Image width 240 mm, 1.00 mm slice spacing | Head | Slice 102 of 155 | Axial plane
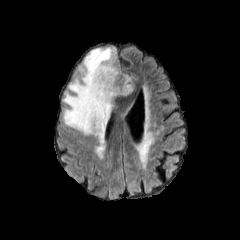
FLAIR MR image.
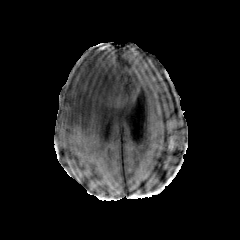
Same slice, T1-weighted MRI.
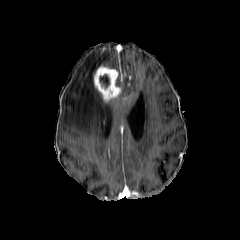
Same slice, post-contrast T1-weighted magnetic resonance.
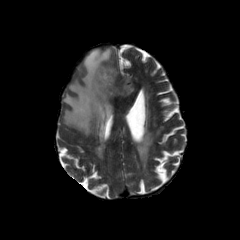
T2-weighted MR image.
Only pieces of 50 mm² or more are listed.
• peritumoral edema: (62, 47, 134, 136)
• enhancing tumor: (93, 65, 126, 103)
• necrotic tumor core: (100, 75, 109, 86)